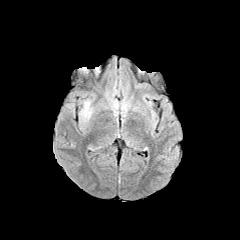
FLAIR MRI.
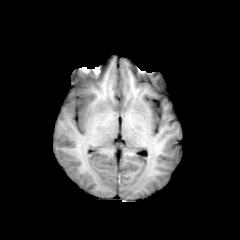
Same slice, T1-weighted magnetic resonance.
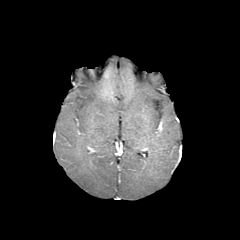
Post-contrast T1-weighted MR.
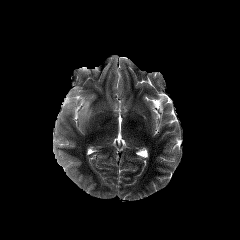
Same slice, T2-weighted magnetic resonance.
Head
peritumoral edema: bounding box 80 100 91 119